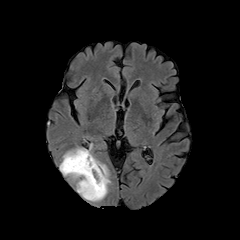
FLAIR magnetic resonance.
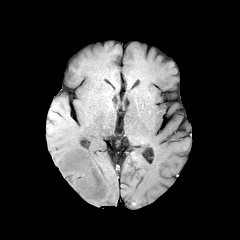
Same slice, T1-weighted magnetic resonance.
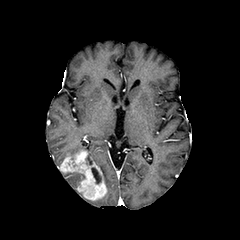
Post-contrast T1-weighted magnetic resonance.
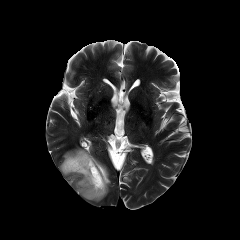
Same slice, T2-weighted magnetic resonance.
240x240 px; Axial slice
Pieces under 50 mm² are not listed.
Segmented structures:
- peritumoral edema: (63, 144, 110, 193), (62, 172, 84, 189)
- enhancing tumor: (59, 150, 107, 200)
- necrotic tumor core: (91, 167, 101, 184)